Axial plane. Slice 105/155. Head.
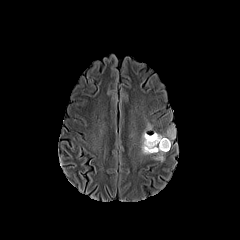
FLAIR magnetic resonance.
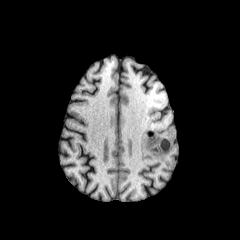
T1-weighted MR of the same slice.
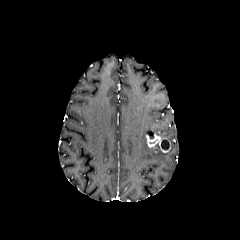
Same slice, post-contrast T1-weighted MR image.
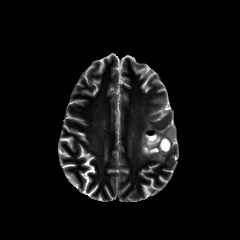
T2-weighted MR.
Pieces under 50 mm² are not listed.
peritumoral_edema:
  - bbox(141, 130, 165, 161)
  - bbox(160, 127, 175, 142)
necrotic_tumor_core:
  - bbox(161, 139, 169, 149)
enhancing_tumor:
  - bbox(145, 129, 170, 152)